240x240
FLAIR MR image.
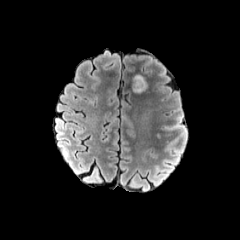
T1-weighted MR.
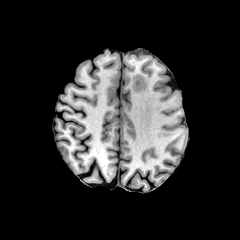
Post-contrast T1-weighted MRI.
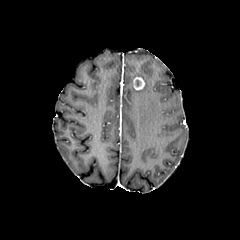
T2-weighted MR.
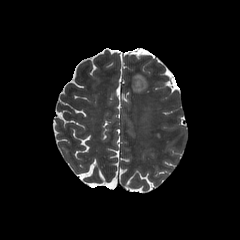
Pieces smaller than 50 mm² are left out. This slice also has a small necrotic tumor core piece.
enhancing tumor at [133, 77, 144, 90]
peritumoral edema at [133, 81, 147, 92]